FLAIR magnetic resonance.
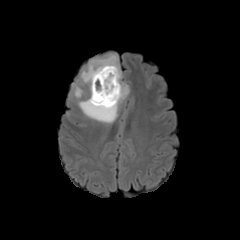
T1-weighted MRI.
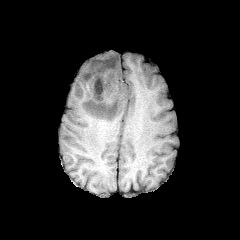
Post-contrast T1-weighted MR image.
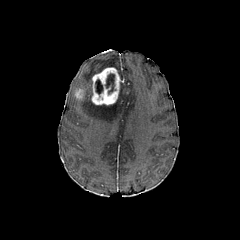
T2-weighted magnetic resonance.
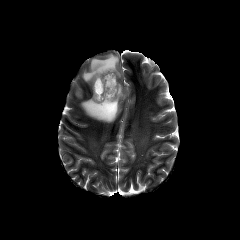
Brain
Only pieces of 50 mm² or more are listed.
necrotic_tumor_core:
  - 105, 73, 114, 93
  - 95, 79, 103, 94
enhancing_tumor:
  - 91, 67, 120, 105
  - 75, 88, 83, 99
peritumoral_edema:
  - 79, 54, 129, 123